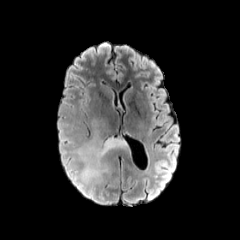
FLAIR MRI.
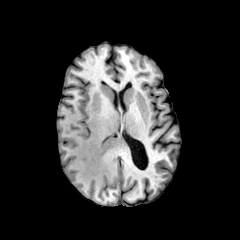
T1-weighted MR image of the same slice.
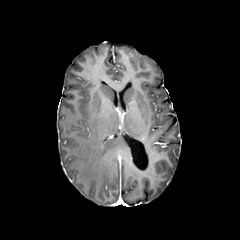
Post-contrast T1-weighted MRI.
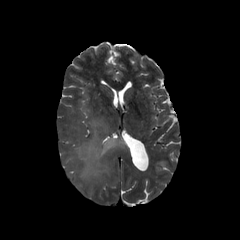
Same slice, T2-weighted MR image.
peritumoral edema: l=75, t=131, r=127, b=183